Axial slice
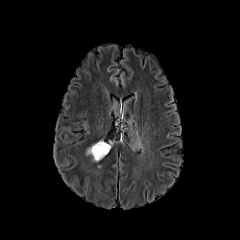
FLAIR magnetic resonance.
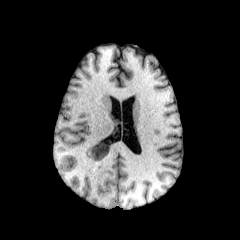
T1-weighted magnetic resonance.
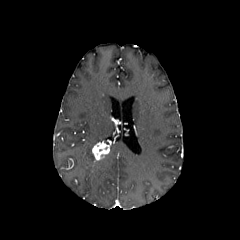
Post-contrast T1-weighted MR of the same slice.
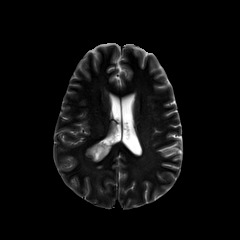
T2-weighted MRI.
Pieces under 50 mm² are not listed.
<segmentation>
  <peritumoral_edema>86, 145, 98, 161</peritumoral_edema>
  <enhancing_tumor>92, 142, 110, 160</enhancing_tumor>
</segmentation>